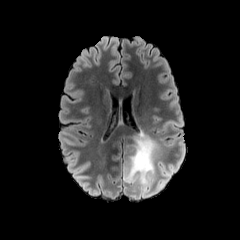
FLAIR magnetic resonance.
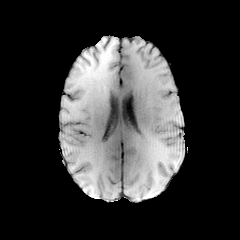
T1-weighted MR image.
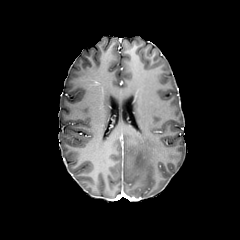
Post-contrast T1-weighted MR image of the same slice.
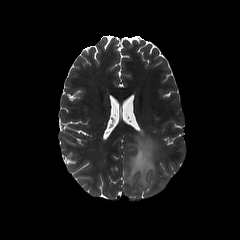
T2-weighted MR.
240x240.
3 peritumoral edema regions are bounded by 124 134 157 192, 160 166 169 177, 153 178 167 193.